Brain | Axial plane | Slice 109/155
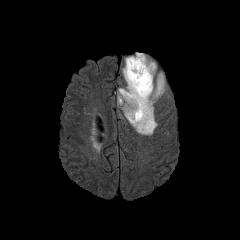
FLAIR magnetic resonance.
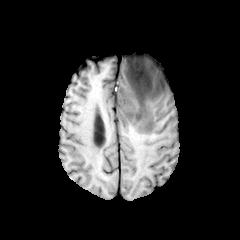
Same slice, T1-weighted MRI.
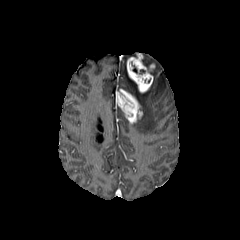
Same slice, post-contrast T1-weighted MR.
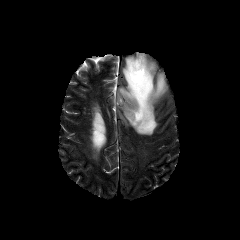
T2-weighted magnetic resonance.
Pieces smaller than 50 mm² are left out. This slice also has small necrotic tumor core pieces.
Findings:
- peritumoral edema: [119, 58, 166, 135], [143, 54, 154, 65]
- enhancing tumor: [127, 53, 154, 92], [116, 89, 142, 123]